Slice 57 of 155; Axial slice
FLAIR MR image.
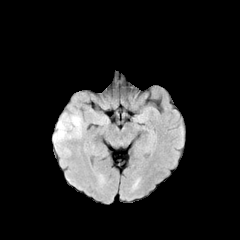
T1-weighted MR.
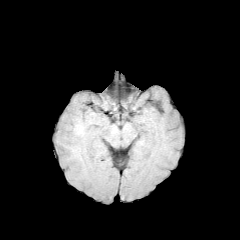
Post-contrast T1-weighted MR.
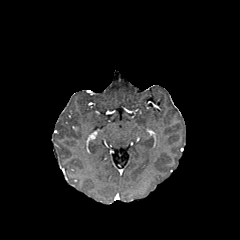
T2-weighted magnetic resonance.
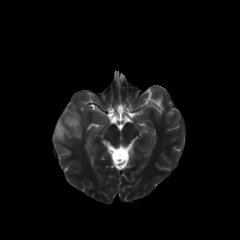
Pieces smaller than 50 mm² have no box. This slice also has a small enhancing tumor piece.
- peritumoral edema: {"x1": 53, "y1": 97, "x2": 84, "y2": 155}